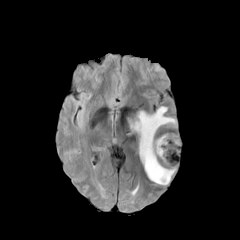
FLAIR MRI.
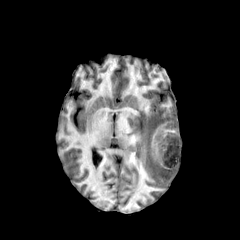
Same slice, T1-weighted MR image.
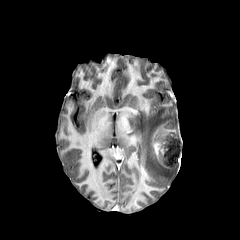
Post-contrast T1-weighted MR image of the same slice.
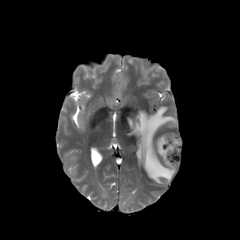
T2-weighted MR of the same slice.
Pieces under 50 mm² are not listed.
Segmented structures:
* necrotic tumor core: l=160, t=136, r=180, b=165
* enhancing tumor: l=154, t=134, r=173, b=168
* peritumoral edema: l=127, t=106, r=177, b=185